Axial view
FLAIR magnetic resonance.
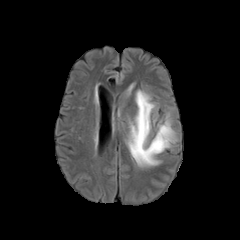
T1-weighted magnetic resonance.
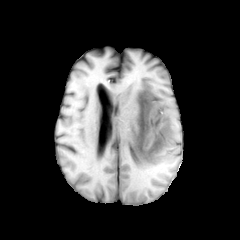
Post-contrast T1-weighted MRI.
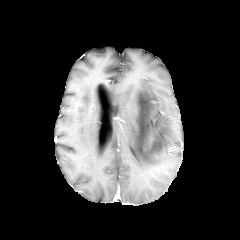
T2-weighted MRI.
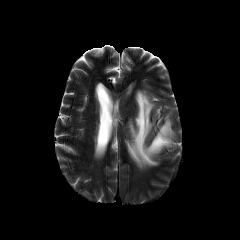
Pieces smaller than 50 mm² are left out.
Segmented structures:
- peritumoral edema: (126,90,176,167)